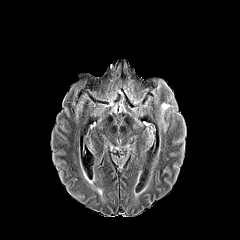
FLAIR MRI.
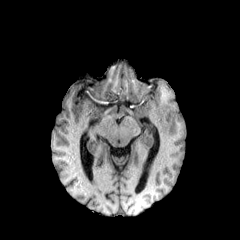
T1-weighted magnetic resonance.
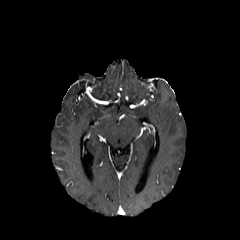
Post-contrast T1-weighted MR.
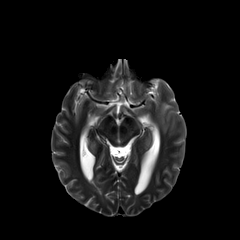
T2-weighted MR.
Axial plane
{"peritumoral_edema": ["l=158, t=103, r=177, b=131"]}